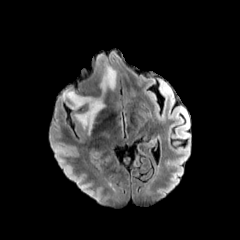
FLAIR MR.
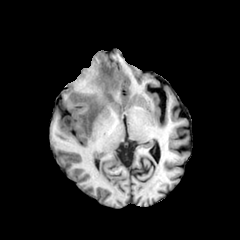
T1-weighted MRI.
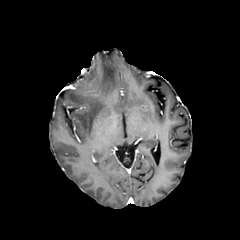
Post-contrast T1-weighted MR image.
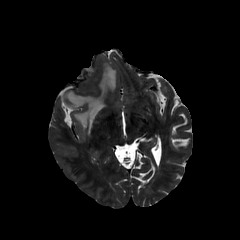
Same slice, T2-weighted MR image.
Head
2 peritumoral edema regions are bounded by region(63, 91, 104, 133); region(100, 64, 116, 93).